FLAIR MRI.
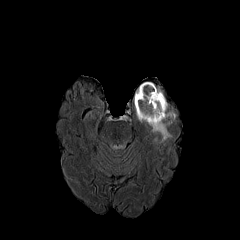
T1-weighted MR image.
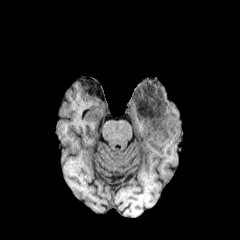
Post-contrast T1-weighted MR.
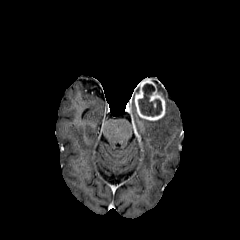
T2-weighted MR.
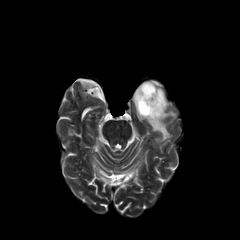
240x240; Brain
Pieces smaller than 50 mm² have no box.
The largest enhancing tumor region is bounded by box(134, 80, 165, 120). The largest peritumoral edema region is at box(137, 102, 176, 142). The necrotic tumor core appears at box(138, 84, 161, 116).